FLAIR MR image.
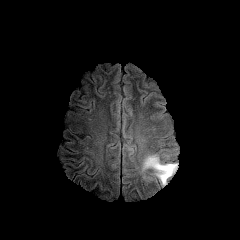
T1-weighted MR.
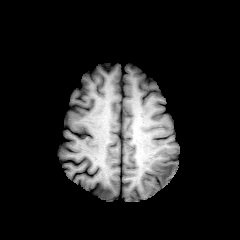
Post-contrast T1-weighted MRI.
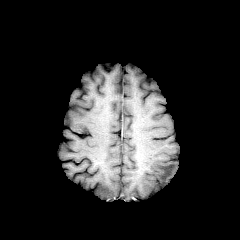
T2-weighted magnetic resonance.
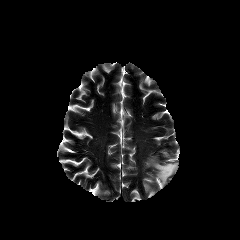
Head. 240x240 px.
peritumoral_edema:
  - left=145, top=156, right=177, bottom=184